Image covers 240 mm x 240 mm | Slice index 79 | Head | Axial slice
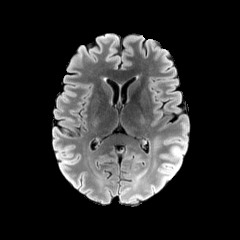
FLAIR MRI.
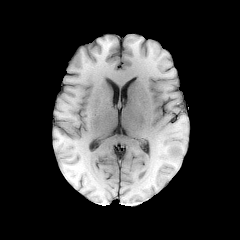
T1-weighted MR image.
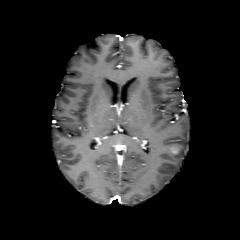
Same slice, post-contrast T1-weighted MRI.
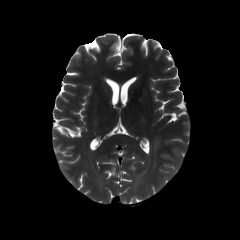
T2-weighted MRI.
Segmented structures:
• enhancing tumor: (170, 145, 180, 154)
• peritumoral edema: (158, 136, 187, 187)